FLAIR MRI.
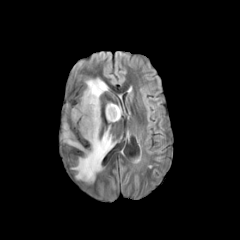
T1-weighted MRI.
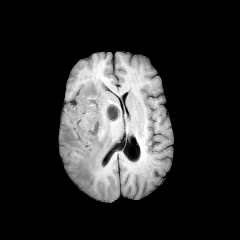
Post-contrast T1-weighted MRI.
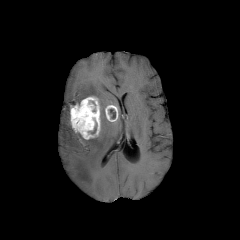
T2-weighted magnetic resonance.
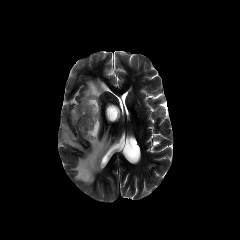
Image size 240x240. Head.
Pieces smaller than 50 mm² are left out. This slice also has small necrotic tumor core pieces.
enhancing tumor: bounding box region(70, 96, 100, 139); region(105, 105, 118, 121)
peritumoral edema: bounding box region(62, 122, 114, 182); region(81, 78, 107, 102)